FLAIR MR image.
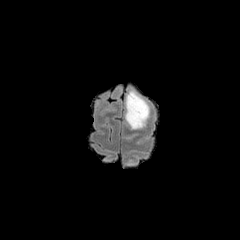
T1-weighted MRI.
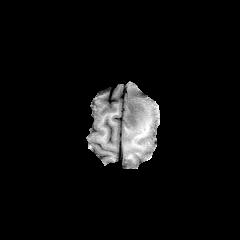
Post-contrast T1-weighted MR.
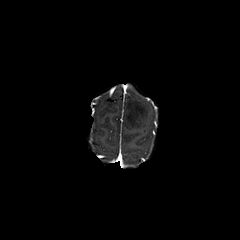
T2-weighted MR image.
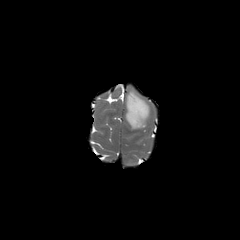
Brain.
<segmentation>
  <peritumoral_edema>125,91,149,129</peritumoral_edema>
  <necrotic_tumor_core>127,110,137,123</necrotic_tumor_core>
</segmentation>